FLAIR MR.
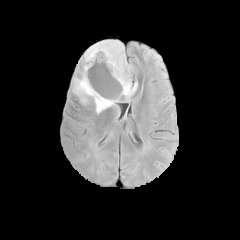
T1-weighted MR image.
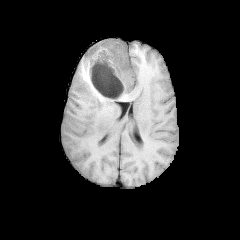
Post-contrast T1-weighted magnetic resonance.
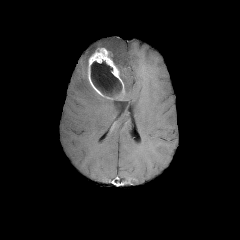
T2-weighted MR image.
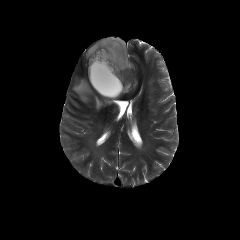
Axial view | Brain | 240x240
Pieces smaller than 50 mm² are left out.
The 2 largest peritumoral edema regions are located at x1=85, y1=40, x2=136, y2=95; x1=72, y1=76, x2=116, y2=114. The enhancing tumor lies within x1=87, y1=47, x2=124, y2=100. The necrotic tumor core appears at x1=91, y1=61, x2=121, y2=96.